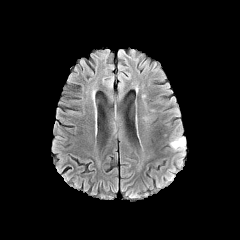
FLAIR MR.
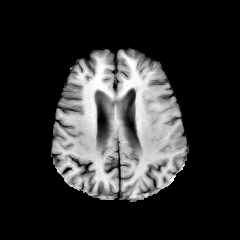
T1-weighted magnetic resonance.
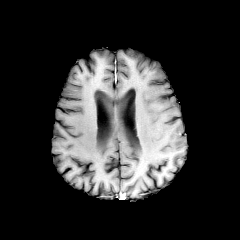
Same slice, post-contrast T1-weighted MR.
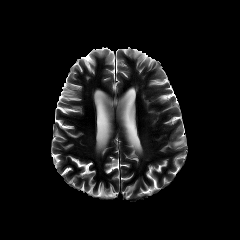
T2-weighted MRI.
Axial slice
{"peritumoral_edema": ["bbox(172, 136, 187, 148)"]}